Slice index 64; Brain
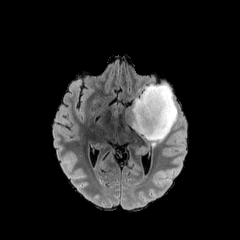
FLAIR MR.
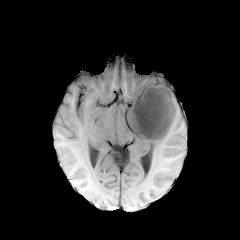
T1-weighted MR of the same slice.
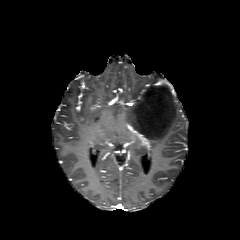
Post-contrast T1-weighted MR image of the same slice.
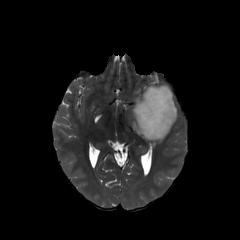
Same slice, T2-weighted magnetic resonance.
<segmentation>
  <peritumoral_edema>(125, 83, 177, 145)</peritumoral_edema>
</segmentation>